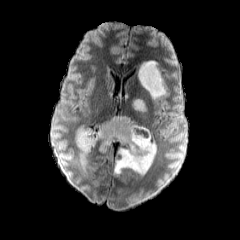
FLAIR magnetic resonance.
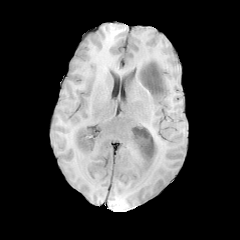
T1-weighted magnetic resonance.
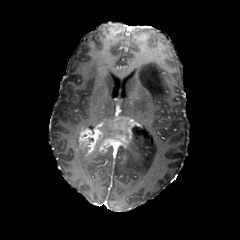
Post-contrast T1-weighted MRI of the same slice.
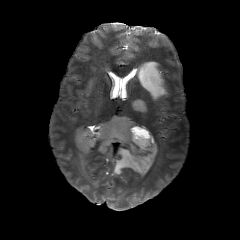
T2-weighted MR.
Head | Axial slice
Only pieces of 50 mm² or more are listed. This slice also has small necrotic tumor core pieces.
The largest enhancing tumor region is located at rect(77, 116, 140, 154). The 3 largest peritumoral edema regions appear at rect(138, 61, 166, 99); rect(132, 99, 145, 110); rect(114, 126, 156, 175).